Axial plane, Slice index 107, 240x240, Image width 240 mm
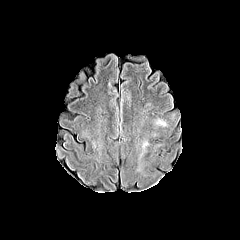
FLAIR MRI.
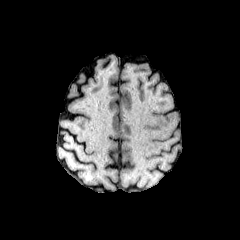
T1-weighted MR image.
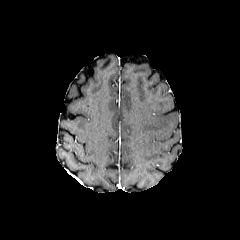
Post-contrast T1-weighted MRI.
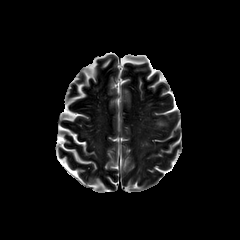
T2-weighted MR image.
2 peritumoral edema regions are bounded by rect(154, 117, 167, 127); rect(138, 139, 150, 160).